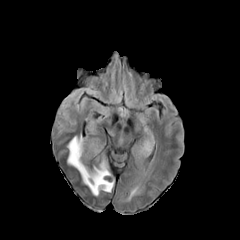
FLAIR magnetic resonance.
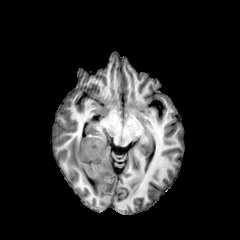
T1-weighted MR image of the same slice.
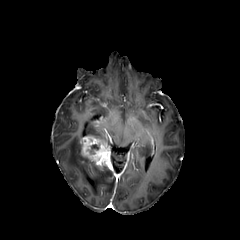
Post-contrast T1-weighted magnetic resonance of the same slice.
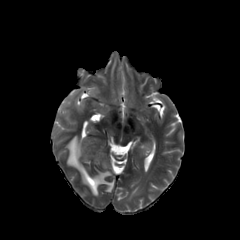
T2-weighted magnetic resonance of the same slice.
240x240 | Axial plane
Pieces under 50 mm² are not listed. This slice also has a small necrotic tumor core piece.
Annotated regions:
• enhancing tumor: (80,136,110,170)
• peritumoral edema: (67,136,113,195)